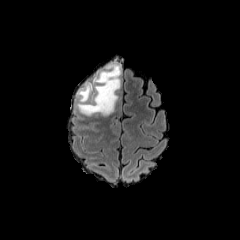
FLAIR MRI.
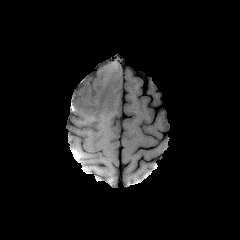
T1-weighted magnetic resonance.
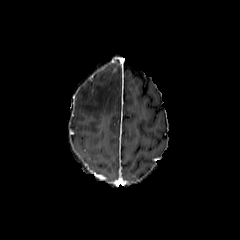
Post-contrast T1-weighted MR image.
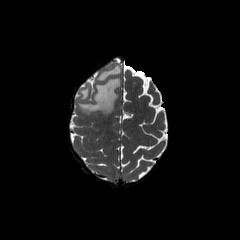
T2-weighted MR of the same slice.
Brain. Image size 240x240. Axial plane.
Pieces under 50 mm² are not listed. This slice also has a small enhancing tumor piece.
peritumoral edema — box=[77, 63, 121, 115]